FLAIR MRI.
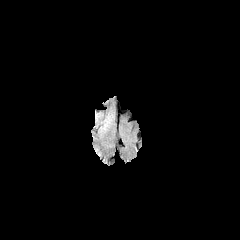
T1-weighted magnetic resonance.
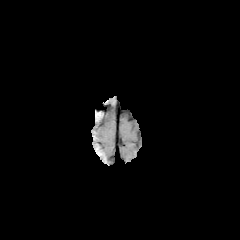
Post-contrast T1-weighted MRI.
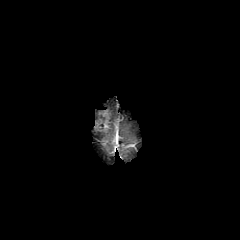
T2-weighted magnetic resonance.
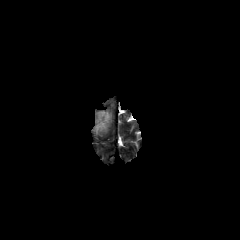
Head, Axial plane
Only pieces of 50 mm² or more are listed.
peritumoral edema = box=[92, 110, 108, 133]
enhancing tumor = box=[95, 110, 110, 132]